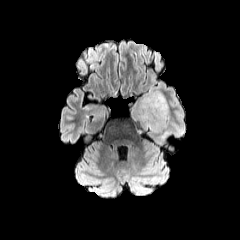
FLAIR magnetic resonance.
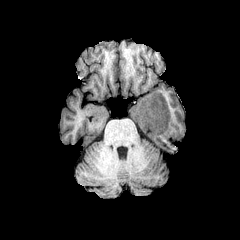
T1-weighted magnetic resonance.
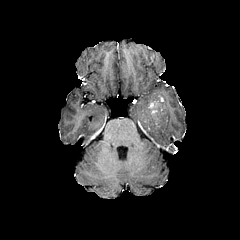
Post-contrast T1-weighted MR.
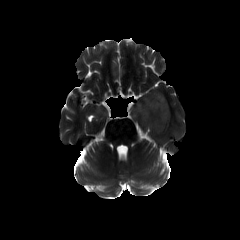
Same slice, T2-weighted MR.
Brain
peritumoral edema: bbox(134, 91, 170, 132) | enhancing tumor: bbox(148, 95, 164, 113)